FLAIR MR image.
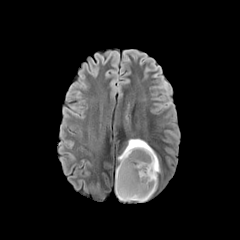
T1-weighted MR image.
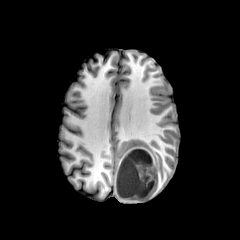
Post-contrast T1-weighted magnetic resonance.
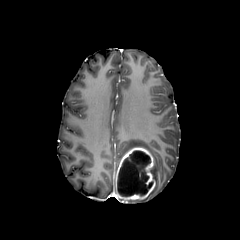
T2-weighted magnetic resonance.
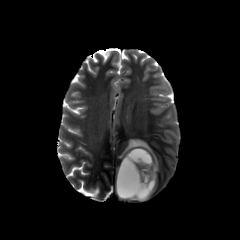
240x240 px
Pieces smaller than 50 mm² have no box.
necrotic_tumor_core:
  - (117, 151, 153, 196)
enhancing_tumor:
  - (116, 147, 155, 200)
peritumoral_edema:
  - (118, 139, 160, 201)